Axial plane
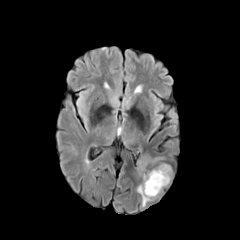
FLAIR MR.
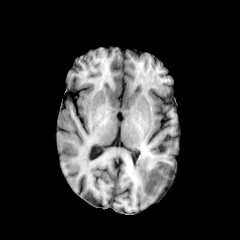
Same slice, T1-weighted MR.
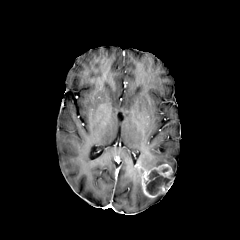
Post-contrast T1-weighted MR of the same slice.
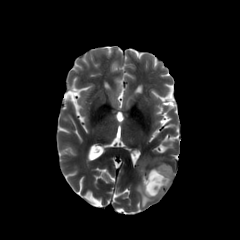
T2-weighted MR.
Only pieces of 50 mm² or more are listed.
Annotated regions:
* enhancing tumor: (139,163,172,198)
* necrotic tumor core: (146,170,170,194)
* peritumoral edema: (137,184,153,206), (139,156,163,168)